FLAIR MR.
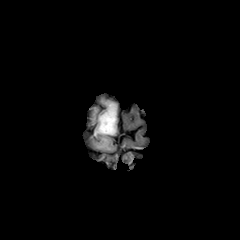
T1-weighted MRI.
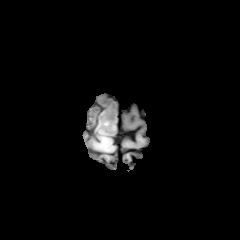
Post-contrast T1-weighted MR.
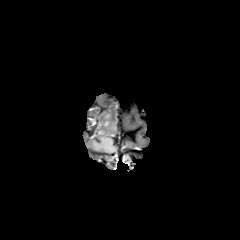
T2-weighted MRI.
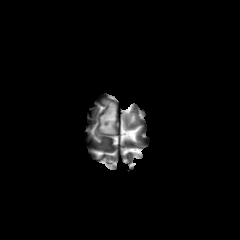
Axial slice
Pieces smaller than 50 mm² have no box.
Annotated regions:
• peritumoral edema: left=95, top=101, right=116, bottom=135